Axial plane | 240x240 | Slice 70/155
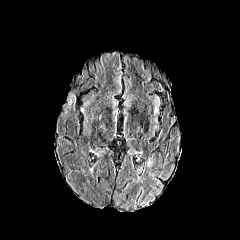
FLAIR MR.
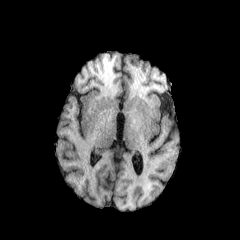
T1-weighted magnetic resonance of the same slice.
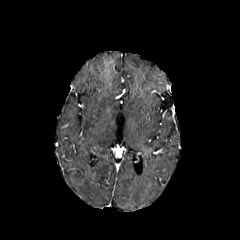
Same slice, post-contrast T1-weighted MR.
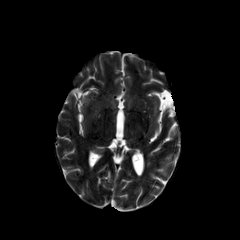
T2-weighted MR of the same slice.
peritumoral edema: bounding box 81 92 92 121, 90 138 106 154, 70 90 78 105